FLAIR MR image.
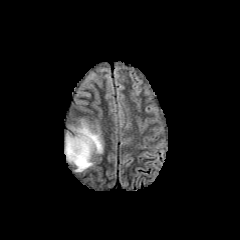
T1-weighted MR.
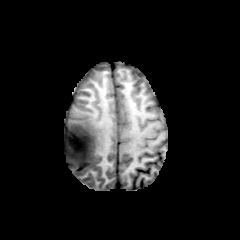
Post-contrast T1-weighted MR image.
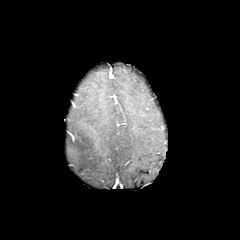
T2-weighted magnetic resonance.
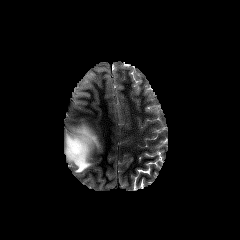
Axial plane
{
  "peritumoral_edema": [
    "65:119:103:172"
  ]
}